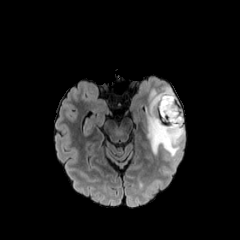
FLAIR magnetic resonance.
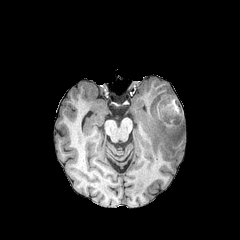
T1-weighted MR image.
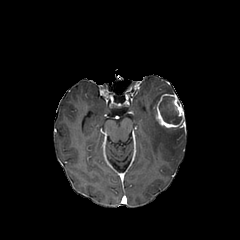
Post-contrast T1-weighted MR image.
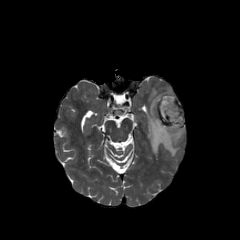
T2-weighted magnetic resonance of the same slice.
240x240 px
enhancing tumor — <bbox>153, 93, 184, 128</bbox>
necrotic tumor core — <bbox>159, 96, 181, 124</bbox>
peritumoral edema — <bbox>146, 87, 184, 157</bbox>